Head; Axial plane
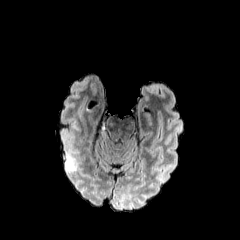
FLAIR MRI.
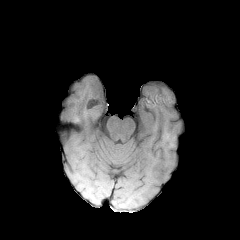
T1-weighted MRI.
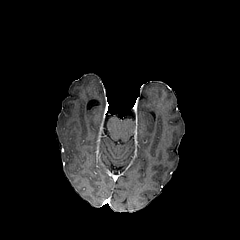
Post-contrast T1-weighted MR of the same slice.
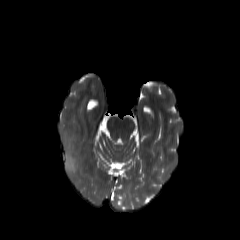
T2-weighted magnetic resonance.
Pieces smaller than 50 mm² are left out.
<segmentation>
  <peritumoral_edema>x1=65, y1=144, x2=77, y2=172</peritumoral_edema>
</segmentation>